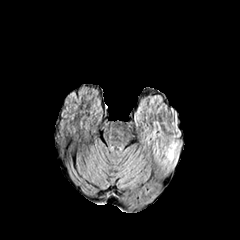
FLAIR MR image.
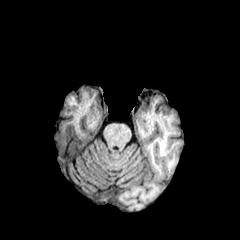
Same slice, T1-weighted magnetic resonance.
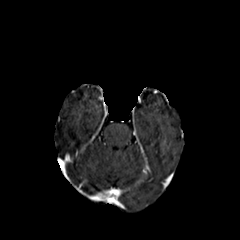
Post-contrast T1-weighted MR image.
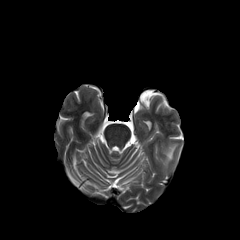
T2-weighted MR image.
240x240 | Head | Axial plane
The peritumoral edema is bounded by 166 143 179 163.